240x240 px, Image width 240 mm, Head
FLAIR MR image.
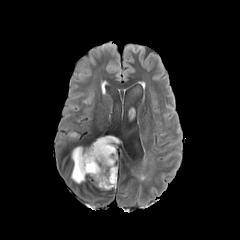
T1-weighted MR.
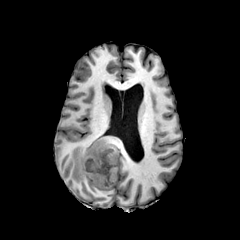
Post-contrast T1-weighted MR.
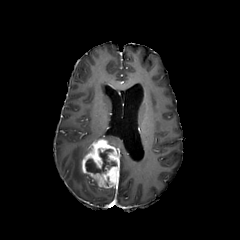
T2-weighted magnetic resonance.
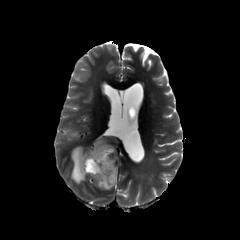
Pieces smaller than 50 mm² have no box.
necrotic tumor core: bbox(85, 149, 115, 173) | peritumoral edema: bbox(71, 146, 88, 183); bbox(99, 136, 118, 144) | enhancing tumor: bbox(81, 139, 119, 188)